Brain; Axial slice; 240x240 px
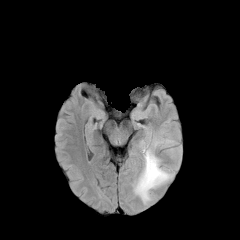
FLAIR MR image.
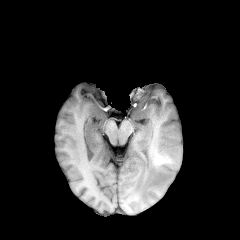
T1-weighted magnetic resonance.
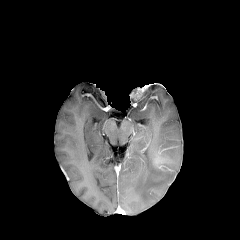
Same slice, post-contrast T1-weighted MR image.
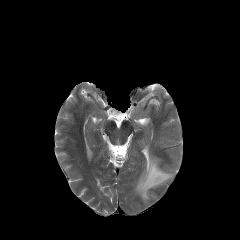
T2-weighted MR.
The peritumoral edema is located at box(135, 146, 182, 205).